Slice 101/155 | Brain | Image size 240x240
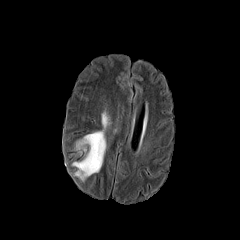
FLAIR MR.
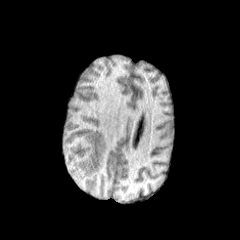
T1-weighted MR image of the same slice.
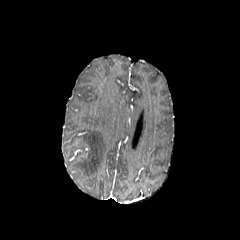
Post-contrast T1-weighted MR image.
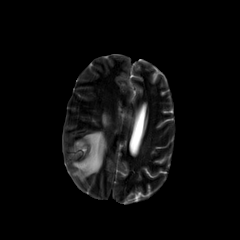
Same slice, T2-weighted magnetic resonance.
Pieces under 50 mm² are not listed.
The 2 largest peritumoral edema regions are located at 72:131:106:180, 102:113:108:127.